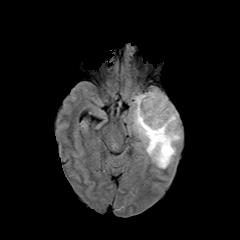
FLAIR MR.
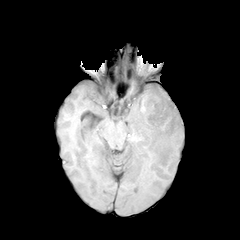
T1-weighted magnetic resonance.
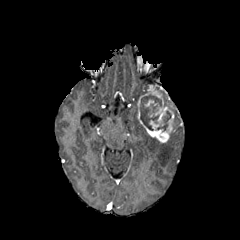
Post-contrast T1-weighted MR image.
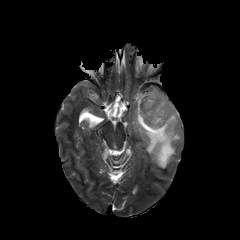
T2-weighted MRI.
Brain.
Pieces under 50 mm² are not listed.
Annotated regions:
- necrotic tumor core: [156, 111, 171, 131], [140, 95, 161, 130]
- enhancing tumor: [137, 87, 177, 142]
- peritumoral edema: [131, 93, 182, 168]